FLAIR MRI.
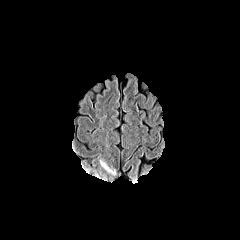
T1-weighted MR.
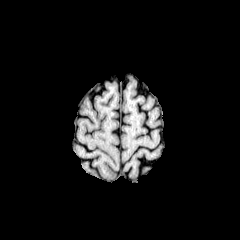
Post-contrast T1-weighted MR.
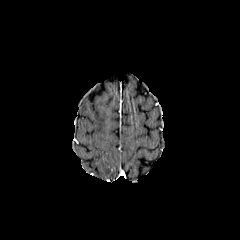
T2-weighted magnetic resonance.
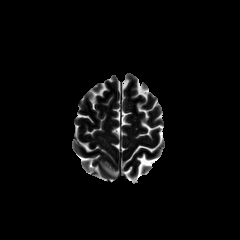
Axial view | 240x240
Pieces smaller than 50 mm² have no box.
peritumoral edema: 100 160 115 174